FLAIR MR image.
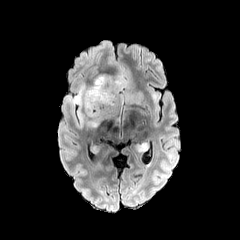
T1-weighted magnetic resonance.
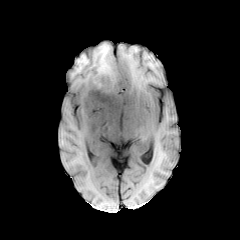
Post-contrast T1-weighted MR image.
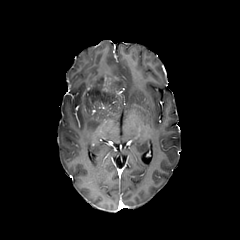
T2-weighted MRI.
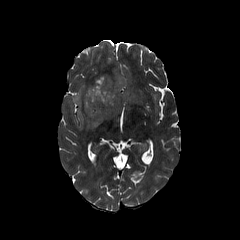
Brain.
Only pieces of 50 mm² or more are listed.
peritumoral edema = left=71, top=72, right=143, bottom=125